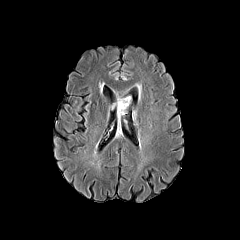
FLAIR magnetic resonance.
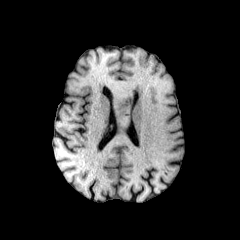
T1-weighted MR of the same slice.
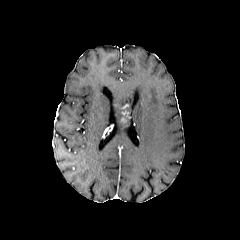
Post-contrast T1-weighted MR image.
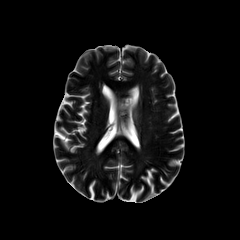
Same slice, T2-weighted MRI.
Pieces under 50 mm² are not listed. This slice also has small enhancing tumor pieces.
The largest peritumoral edema region lies within l=115, t=96, r=131, b=127.